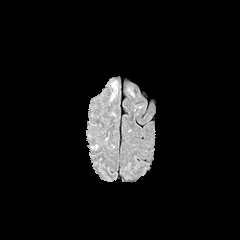
FLAIR MR image.
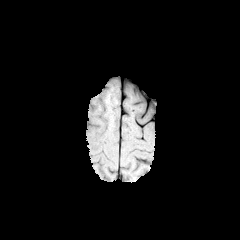
Same slice, T1-weighted magnetic resonance.
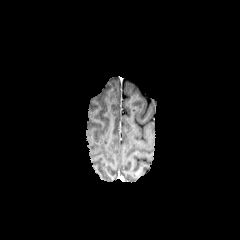
Post-contrast T1-weighted MRI.
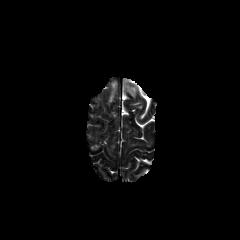
T2-weighted MRI.
Brain. Image size 240x240.
peritumoral edema at x1=110 y1=81 x2=116 y2=100